Brain; Image size 240x240; Image width 240 mm
FLAIR MRI.
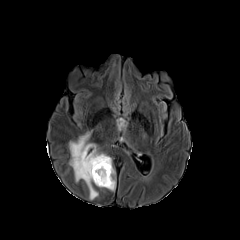
T1-weighted MR.
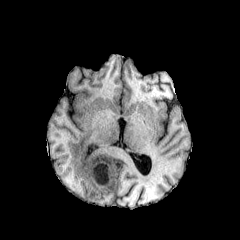
Post-contrast T1-weighted MR.
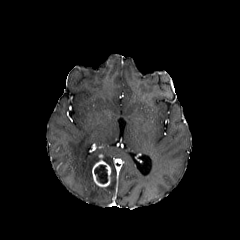
T2-weighted MR.
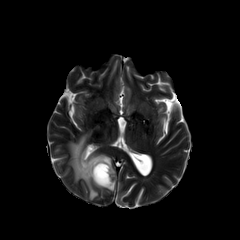
necrotic tumor core at 94,165,107,183
peritumoral edema at 69,131,99,199; 102,153,115,190
enhancing tumor at 92,154,111,187